Axial plane, Head
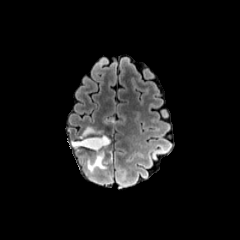
FLAIR MR.
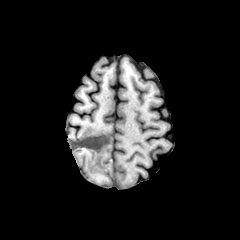
T1-weighted magnetic resonance.
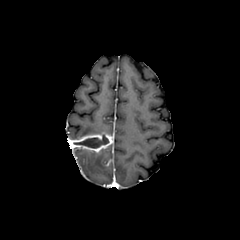
Post-contrast T1-weighted MR image of the same slice.
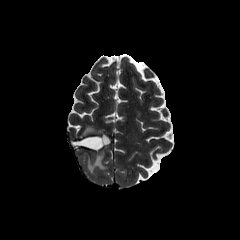
T2-weighted MRI.
{"enhancing_tumor": ["[71, 133, 111, 152]"], "peritumoral_edema": ["[88, 149, 105, 172]", "[80, 126, 101, 137]"], "necrotic_tumor_core": ["[74, 136, 108, 148]"]}